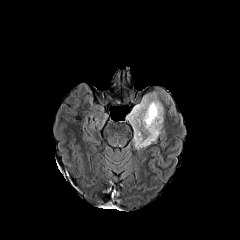
FLAIR MR image.
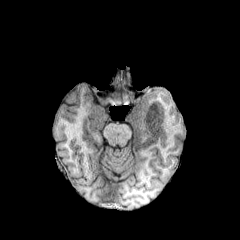
T1-weighted magnetic resonance.
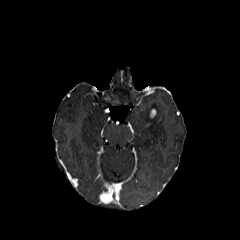
Post-contrast T1-weighted MR image of the same slice.
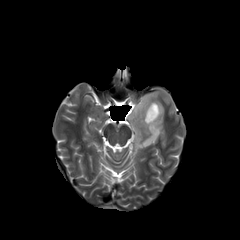
T2-weighted MRI of the same slice.
Axial view
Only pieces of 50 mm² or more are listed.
The peritumoral edema lies within <bbox>127, 93, 163, 148</bbox>. The largest enhancing tumor region is at <bbox>149, 108, 156, 118</bbox>.